Slice 82/155. Image width 240 mm. Axial view. Image size 240x240.
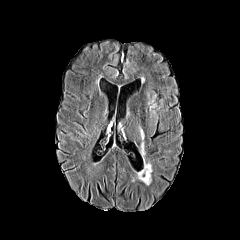
FLAIR magnetic resonance.
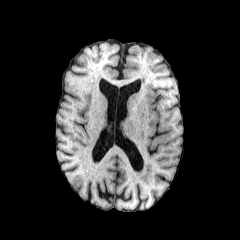
T1-weighted MRI.
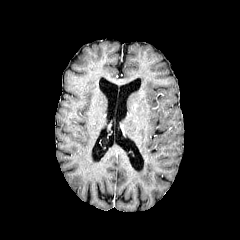
Same slice, post-contrast T1-weighted magnetic resonance.
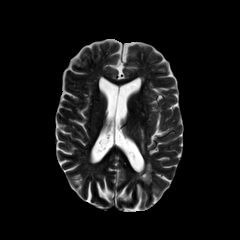
T2-weighted MR.
peritumoral edema: box=[140, 129, 144, 155]